Axial slice.
FLAIR MR image.
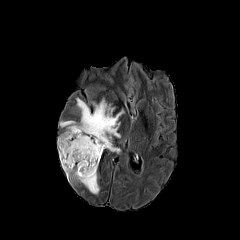
T1-weighted MRI.
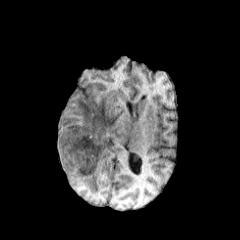
Post-contrast T1-weighted MR.
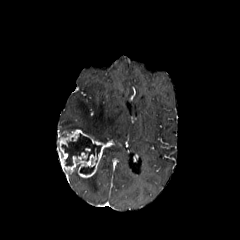
T2-weighted magnetic resonance.
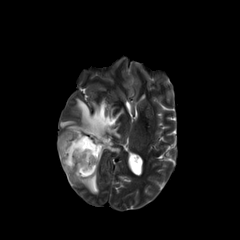
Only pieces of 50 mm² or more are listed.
The 2 largest necrotic tumor core regions are located at rect(62, 134, 101, 165); rect(80, 166, 94, 174). 3 peritumoral edema regions are bounded by rect(60, 96, 125, 143); rect(105, 145, 120, 152); rect(70, 170, 99, 194). The largest enhancing tumor region appears at rect(57, 129, 111, 177).